Axial slice
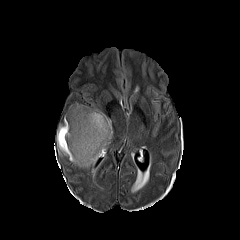
FLAIR magnetic resonance.
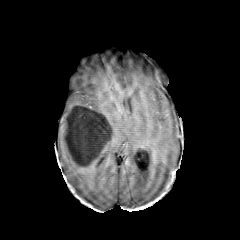
T1-weighted MR.
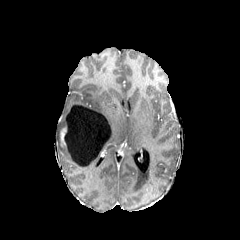
Post-contrast T1-weighted MR image.
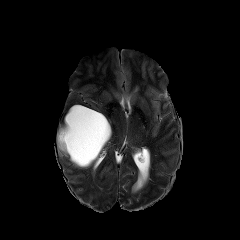
T2-weighted MRI.
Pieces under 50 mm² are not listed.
peritumoral edema: bounding box box=[87, 107, 112, 148]; box=[57, 115, 98, 168]
enhancing tumor: bounding box box=[60, 127, 66, 145]
necrotic tumor core: bounding box box=[64, 105, 110, 166]